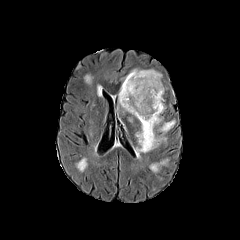
FLAIR MR image.
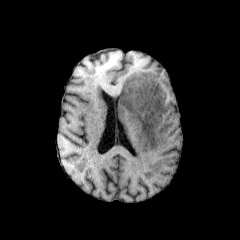
T1-weighted MR image of the same slice.
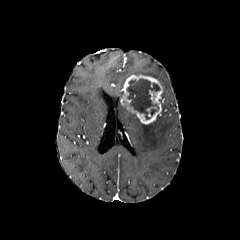
Post-contrast T1-weighted MR of the same slice.
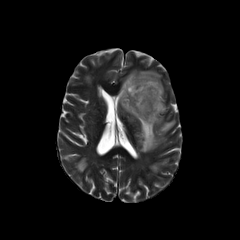
T2-weighted magnetic resonance.
240x240 px
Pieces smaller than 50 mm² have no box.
The largest necrotic tumor core region is bounded by (left=127, top=79, right=159, bottom=119). The largest enhancing tumor region is at (left=120, top=74, right=163, bottom=124). The 2 largest peritumoral edema regions appear at (left=135, top=115, right=175, bottom=155), (left=119, top=69, right=164, bottom=92).